Slice index 47 | Head
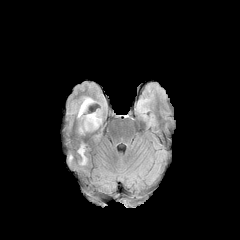
FLAIR MR.
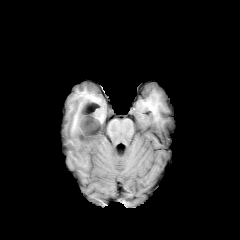
Same slice, T1-weighted MR.
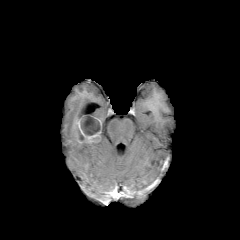
Same slice, post-contrast T1-weighted MR image.
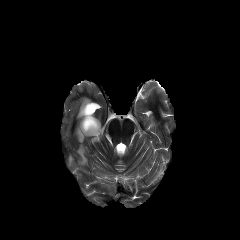
T2-weighted MR of the same slice.
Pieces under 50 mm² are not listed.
The 3 largest peritumoral edema regions are located at [77,98,91,119], [78,144,87,164], [89,113,101,131]. The necrotic tumor core is located at [81,114,100,135]. The largest enhancing tumor region is bounded by [78,120,101,143].